FLAIR MR.
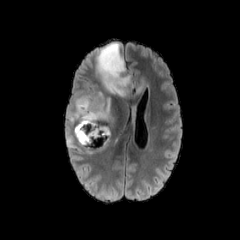
T1-weighted magnetic resonance.
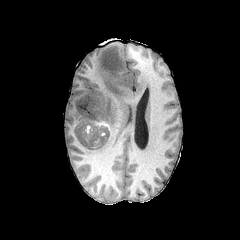
Post-contrast T1-weighted MRI.
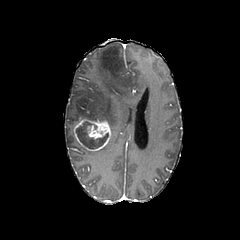
T2-weighted MR.
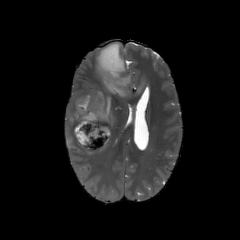
Axial plane | Head
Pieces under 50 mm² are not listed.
peritumoral edema = left=64, top=42, right=148, bottom=154
enhancing tumor = left=73, top=120, right=111, bottom=151
necrotic tumor core = left=76, top=122, right=108, bottom=148